FLAIR MR image.
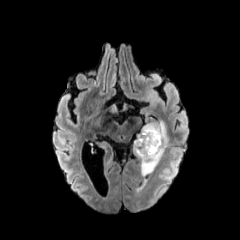
T1-weighted MR.
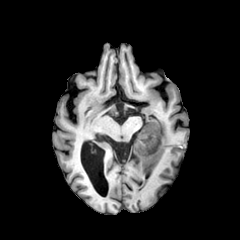
Post-contrast T1-weighted MR image.
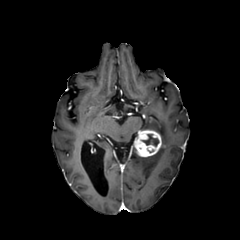
T2-weighted magnetic resonance.
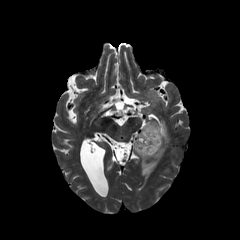
Axial slice.
enhancing_tumor:
  - (134,129,161,156)
peritumoral_edema:
  - (133,120,168,173)
necrotic_tumor_core:
  - (142,134,158,146)